Slice 96 of 155. Image size 240x240. Brain.
FLAIR MR image.
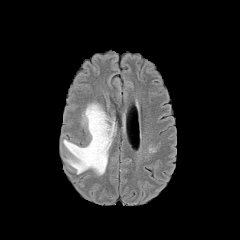
T1-weighted MR image.
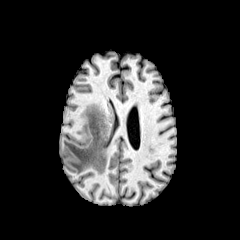
Post-contrast T1-weighted MR image.
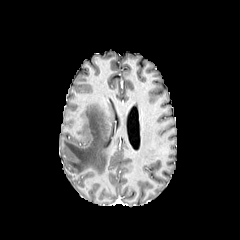
T2-weighted MR.
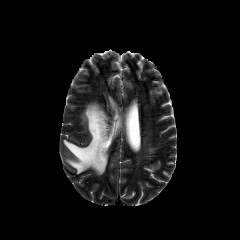
The peritumoral edema is located at box=[63, 103, 115, 175].